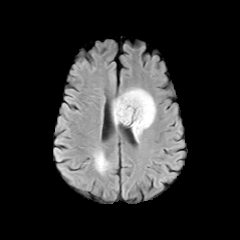
FLAIR magnetic resonance.
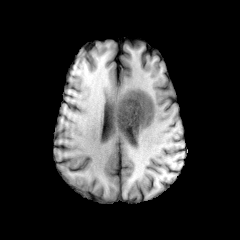
Same slice, T1-weighted magnetic resonance.
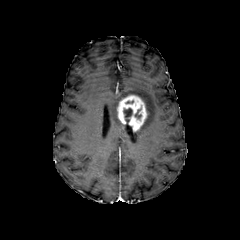
Post-contrast T1-weighted MRI.
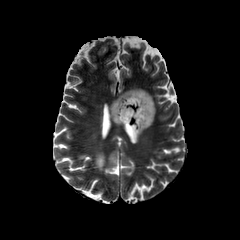
Same slice, T2-weighted MR.
Brain. 240x240.
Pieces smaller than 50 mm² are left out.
{
  "peritumoral_edema": [
    "(x1=112, y1=88, x2=155, y2=140)",
    "(x1=95, y1=152, x2=108, y2=172)"
  ],
  "enhancing_tumor": [
    "(x1=117, y1=94, x2=147, y2=131)"
  ],
  "necrotic_tumor_core": [
    "(x1=124, y1=108, x2=132, y2=117)"
  ]
}